Image width 240 mm, 1.00 mm slice spacing, Axial view, Head
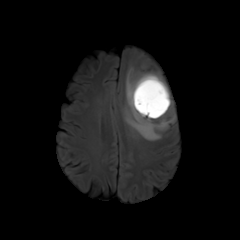
FLAIR MR image.
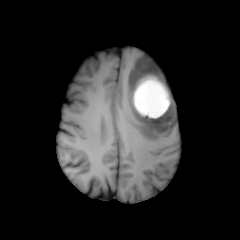
T1-weighted MR.
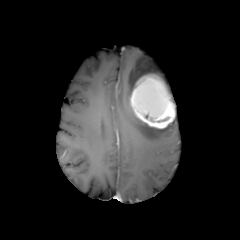
Post-contrast T1-weighted MR image.
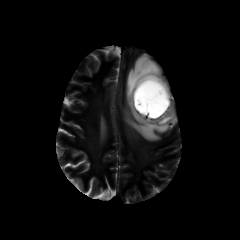
Same slice, T2-weighted MRI.
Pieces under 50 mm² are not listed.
The largest peritumoral edema region lies within (124, 54, 175, 141). The enhancing tumor is at (130, 75, 175, 128). The necrotic tumor core is bounded by (144, 113, 170, 122).